Head. Image covers 240 mm x 240 mm.
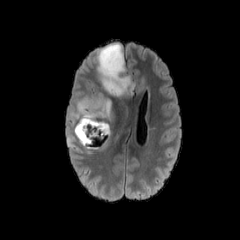
FLAIR magnetic resonance.
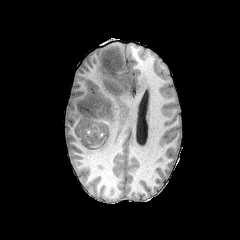
Same slice, T1-weighted MR image.
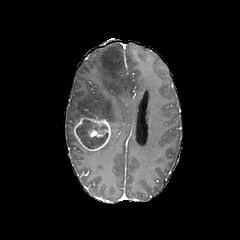
Same slice, post-contrast T1-weighted magnetic resonance.
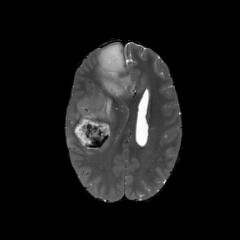
T2-weighted MRI of the same slice.
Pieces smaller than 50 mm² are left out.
The enhancing tumor is bounded by region(73, 117, 110, 150). The largest necrotic tumor core region is at region(76, 120, 108, 148). The peritumoral edema is located at region(65, 43, 148, 154).